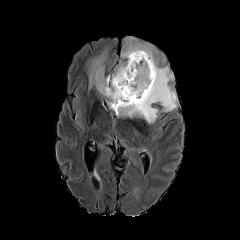
FLAIR MR image.
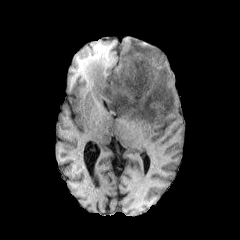
Same slice, T1-weighted MR image.
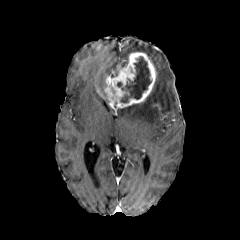
Post-contrast T1-weighted MR.
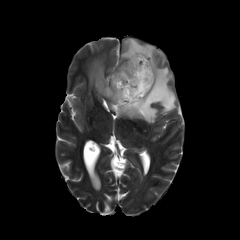
T2-weighted MRI of the same slice.
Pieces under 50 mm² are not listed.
necrotic tumor core — (117, 56, 151, 103)
enhancing tumor — (103, 52, 156, 112)
peritumoral edema — (112, 63, 123, 77), (116, 36, 177, 123), (83, 46, 108, 96)